Image size 240x240
FLAIR MR.
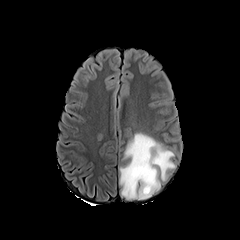
T1-weighted MR image.
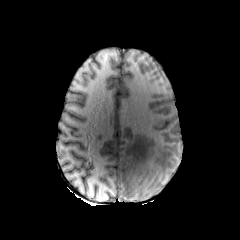
Post-contrast T1-weighted magnetic resonance.
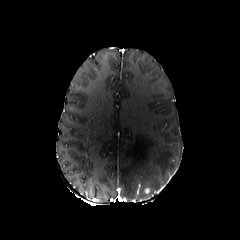
T2-weighted MR.
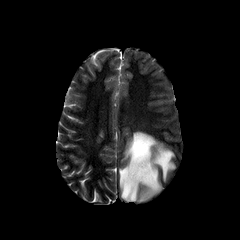
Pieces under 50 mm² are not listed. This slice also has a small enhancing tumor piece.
{
  "peritumoral_edema": [
    "l=119, t=132, r=175, b=199"
  ]
}